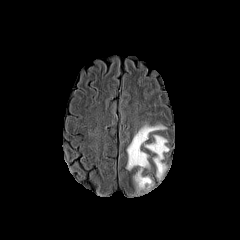
FLAIR magnetic resonance.
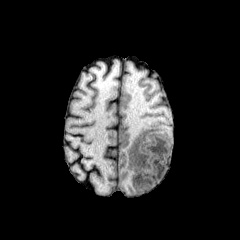
Same slice, T1-weighted MRI.
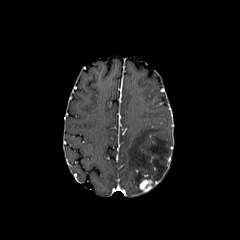
Post-contrast T1-weighted MR.
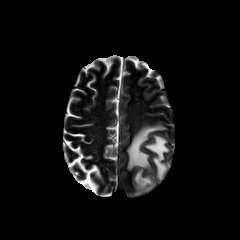
T2-weighted magnetic resonance of the same slice.
Axial plane
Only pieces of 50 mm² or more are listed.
{
  "peritumoral_edema": [
    "l=127, t=125, r=168, b=192"
  ],
  "enhancing_tumor": [
    "l=139, t=179, r=152, b=191"
  ]
}